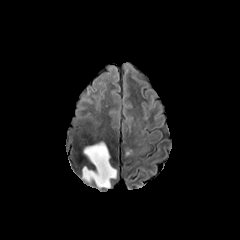
FLAIR MR.
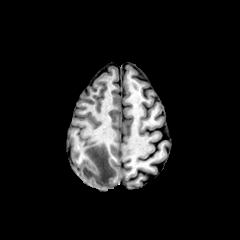
T1-weighted MR image.
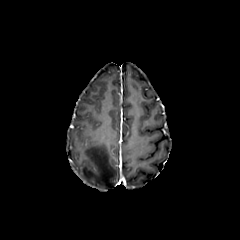
Same slice, post-contrast T1-weighted MR image.
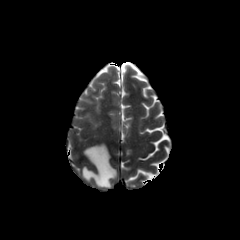
T2-weighted MRI.
Head, Axial slice
peritumoral edema = 82 143 116 188